Axial plane, Head, Slice index 53
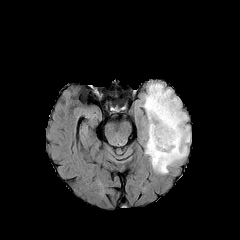
FLAIR MRI.
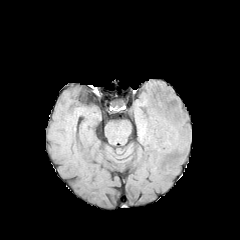
T1-weighted MRI.
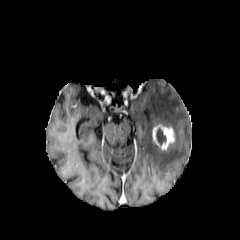
Post-contrast T1-weighted MR of the same slice.
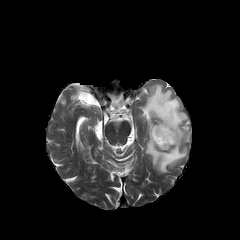
Same slice, T2-weighted MR image.
Findings:
• peritumoral edema: bbox=[142, 83, 190, 173]
• enhancing tumor: bbox=[152, 124, 174, 149]
• necrotic tumor core: bbox=[156, 128, 165, 144]